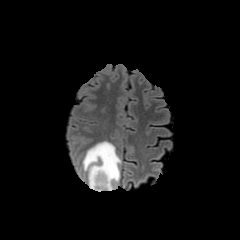
FLAIR MR.
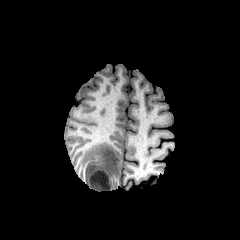
Same slice, T1-weighted magnetic resonance.
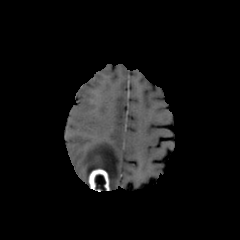
Post-contrast T1-weighted MRI.
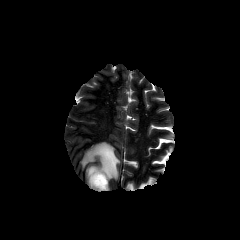
T2-weighted MR image of the same slice.
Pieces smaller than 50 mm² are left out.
Findings:
* peritumoral edema: [82,141,121,190]
* enhancing tumor: [88,169,109,191]
* necrotic tumor core: [95,174,105,190]